Head, Slice 130/155
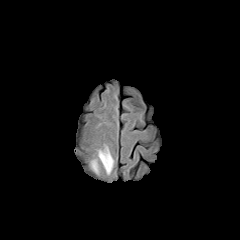
FLAIR MR.
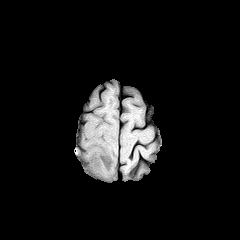
T1-weighted MR.
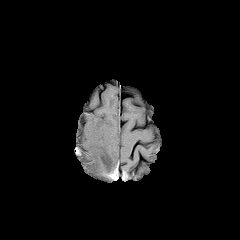
Post-contrast T1-weighted magnetic resonance.
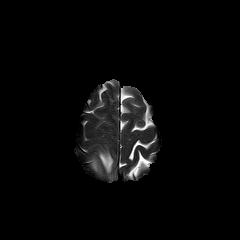
T2-weighted MR.
{
  "peritumoral_edema": [
    "98 147 113 173",
    "92 160 97 172"
  ]
}